Image size 240x240
FLAIR MR image.
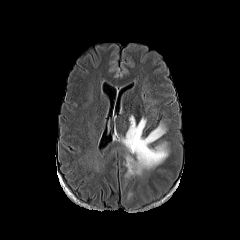
T1-weighted MRI.
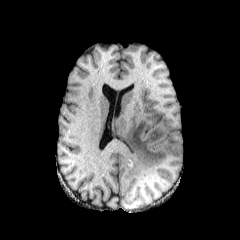
Post-contrast T1-weighted MRI.
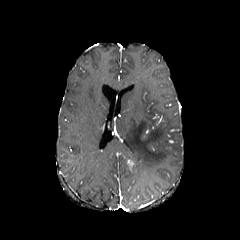
T2-weighted MRI.
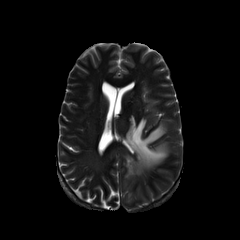
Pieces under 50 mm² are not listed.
peritumoral edema: rect(123, 116, 168, 177)
enhancing tumor: rect(127, 160, 137, 172)